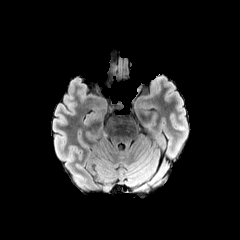
FLAIR MR image.
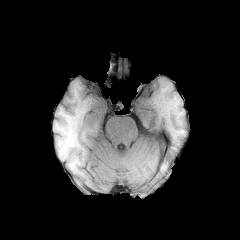
T1-weighted magnetic resonance.
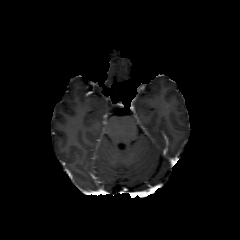
Post-contrast T1-weighted MR.
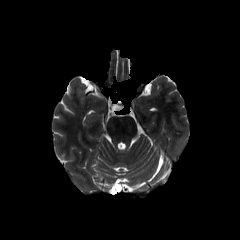
T2-weighted magnetic resonance.
Image size 240x240, Axial slice
Annotated regions:
* peritumoral edema: (x1=175, y1=133, x2=186, y2=152)